FLAIR MR.
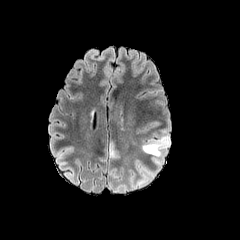
T1-weighted MR.
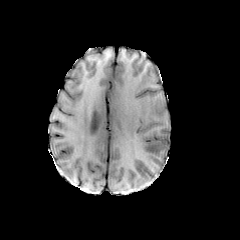
Post-contrast T1-weighted magnetic resonance.
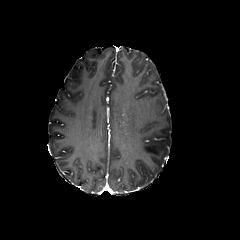
T2-weighted MRI.
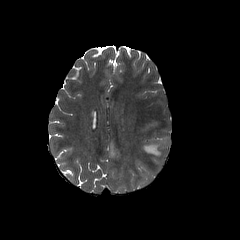
Image size 240x240.
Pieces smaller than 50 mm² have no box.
peritumoral_edema:
  - (x1=142, y1=130, x2=170, y2=156)
  - (x1=153, y1=158, x2=161, y2=170)